FLAIR MR.
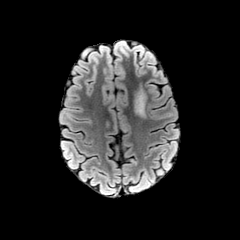
T1-weighted MR.
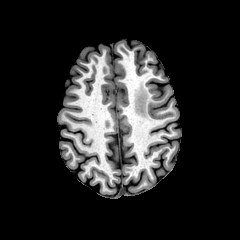
Post-contrast T1-weighted MR image.
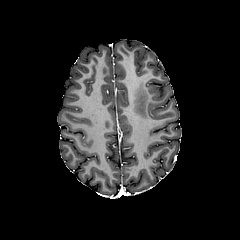
T2-weighted MR image.
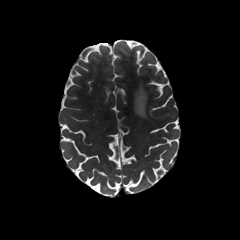
240x240. Axial view.
The peritumoral edema is located at (left=134, top=88, right=146, bottom=117).